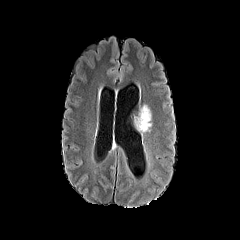
FLAIR MR.
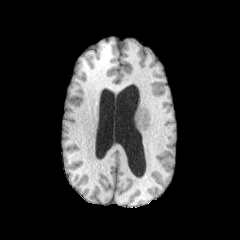
T1-weighted MR of the same slice.
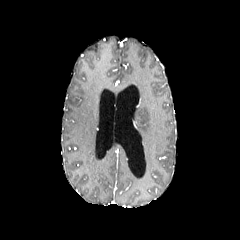
Post-contrast T1-weighted MR of the same slice.
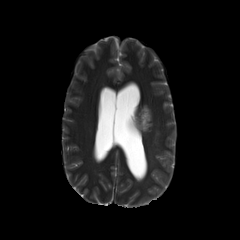
Same slice, T2-weighted magnetic resonance.
240x240 px | Head
Segmented structures:
- peritumoral edema: 137, 105, 151, 134